Brain | Axial plane | Slice 64/155
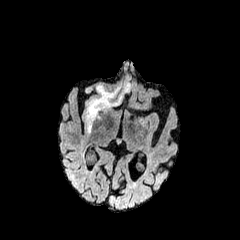
FLAIR magnetic resonance.
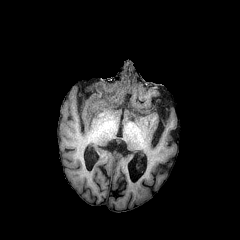
T1-weighted MR of the same slice.
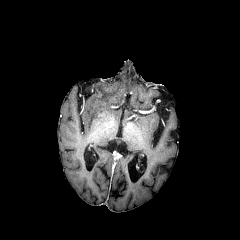
Post-contrast T1-weighted MRI.
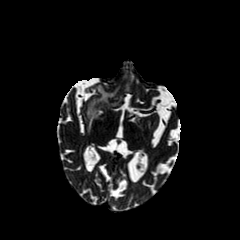
Same slice, T2-weighted MR.
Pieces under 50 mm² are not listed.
peritumoral edema: bounding box bbox=[87, 85, 121, 131]